Slice 106/155, Axial slice, Brain, 240x240 px
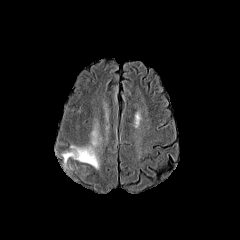
FLAIR magnetic resonance.
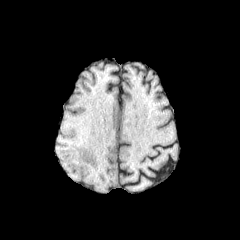
Same slice, T1-weighted MR.
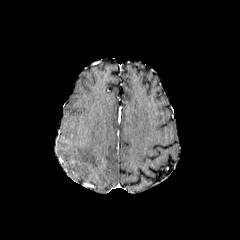
Same slice, post-contrast T1-weighted magnetic resonance.
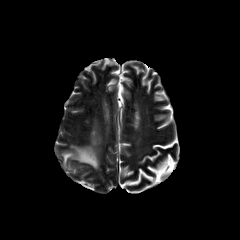
Same slice, T2-weighted MR.
<segmentation>
  <peritumoral_edema>{"x1": 62, "y1": 129, "x2": 100, "y2": 168}</peritumoral_edema>
</segmentation>